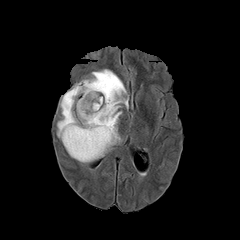
FLAIR magnetic resonance.
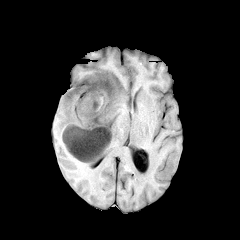
T1-weighted MR image.
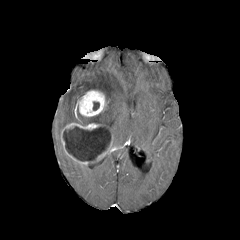
Same slice, post-contrast T1-weighted MR.
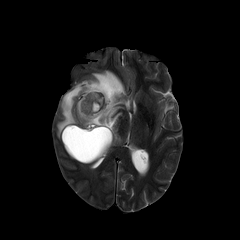
Same slice, T2-weighted MR.
Brain
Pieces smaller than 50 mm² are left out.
The 3 largest enhancing tumor regions appear at x1=76 y1=90 x2=107 y2=117, x1=79 y1=147 x2=110 y2=163, x1=61 y1=122 x2=101 y2=150. 2 necrotic tumor core regions are bounded by x1=64 y1=125 x2=110 y2=161, x1=93 y1=102 x2=99 y2=110. The largest peritumoral edema region is at x1=57 y1=69 x2=128 y2=150.